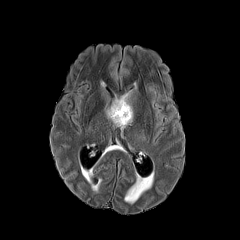
FLAIR MR image.
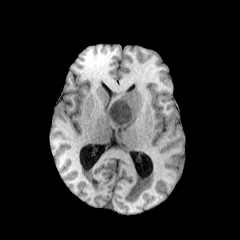
T1-weighted MR image.
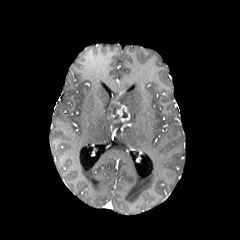
Post-contrast T1-weighted MRI of the same slice.
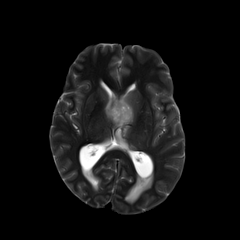
T2-weighted MRI.
240x240; Axial slice
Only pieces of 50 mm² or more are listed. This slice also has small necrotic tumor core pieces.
The 2 largest peritumoral edema regions are located at x1=116, y1=93, x2=132, y2=122; x1=106, y1=104, x2=119, y2=119. The largest enhancing tumor region is bounded by x1=111, y1=101, x2=130, y2=122.